FLAIR MRI.
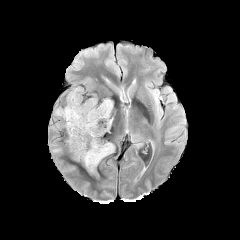
T1-weighted magnetic resonance.
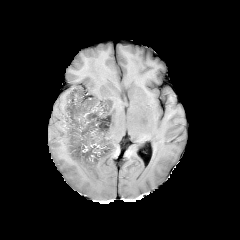
Post-contrast T1-weighted MR.
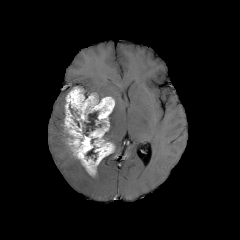
T2-weighted magnetic resonance.
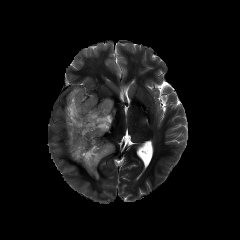
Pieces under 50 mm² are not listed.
enhancing tumor — <bbox>64, 86, 114, 175</bbox>
necrotic tumor core — <bbox>83, 111, 98, 135</bbox>, <bbox>86, 148, 96, 157</bbox>
peritumoral edema — <bbox>55, 108, 65, 118</bbox>